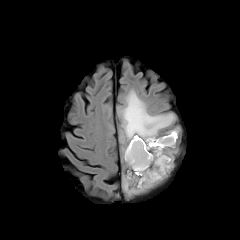
FLAIR MR.
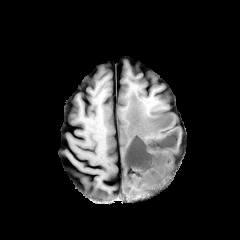
T1-weighted MR image of the same slice.
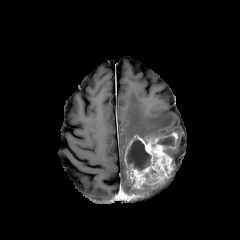
Post-contrast T1-weighted MR image of the same slice.
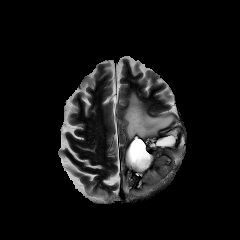
T2-weighted MR.
Head, 240x240
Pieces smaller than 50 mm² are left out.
{"peritumoral_edema": ["x1=121, y1=92, x2=174, y2=142", "x1=123, y1=176, x2=151, y2=194"], "necrotic_tumor_core": ["x1=158, y1=137, x2=174, y2=145", "x1=127, y1=140, x2=150, y2=170"], "enhancing_tumor": ["x1=124, y1=132, x2=177, y2=188"]}